Image covers 240 mm x 240 mm. Slice 50 of 155. Axial plane.
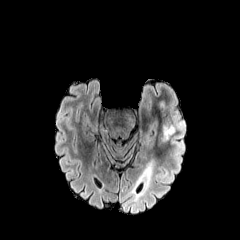
FLAIR MRI.
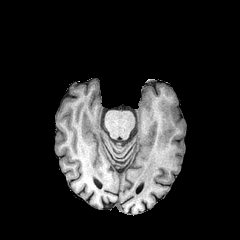
T1-weighted MR.
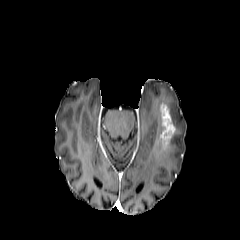
Same slice, post-contrast T1-weighted MR image.
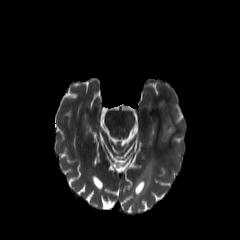
T2-weighted MR image of the same slice.
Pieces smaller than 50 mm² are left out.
{"peritumoral_edema": [{"x1": 152, "y1": 96, "x2": 186, "y2": 157}], "enhancing_tumor": [{"x1": 159, "y1": 102, "x2": 175, "y2": 144}]}